FLAIR MR image.
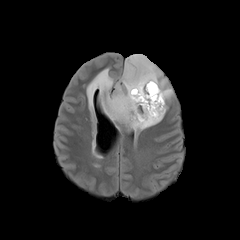
T1-weighted magnetic resonance.
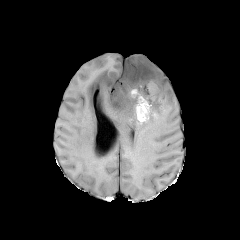
Post-contrast T1-weighted MRI.
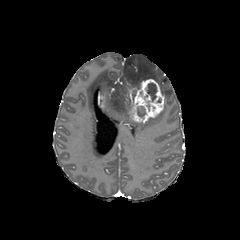
T2-weighted MRI.
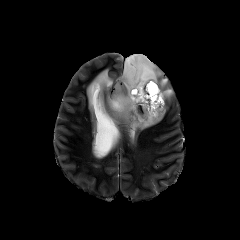
Brain
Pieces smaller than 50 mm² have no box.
necrotic tumor core — (137, 106, 145, 114), (147, 83, 156, 92)
enhancing tumor — (127, 78, 164, 123), (98, 94, 104, 108)
peritumoral edema — (86, 54, 173, 132)